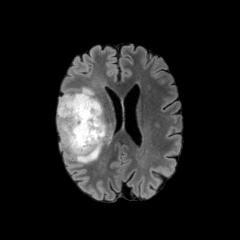
FLAIR MRI.
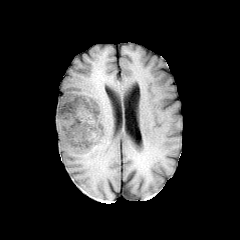
T1-weighted MR image.
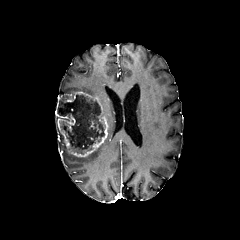
Post-contrast T1-weighted MR image.
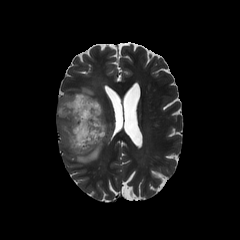
Same slice, T2-weighted MR image.
Head
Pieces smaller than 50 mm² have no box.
peritumoral edema: (x1=65, y1=143, x2=103, y2=163), (x1=105, y1=129, x2=111, y2=142), (x1=73, y1=87, x2=94, y2=96)
necrotic tumor core: (x1=59, y1=94, x2=104, y2=153)
enhancing tumor: (x1=57, y1=91, x2=108, y2=157)